FLAIR magnetic resonance.
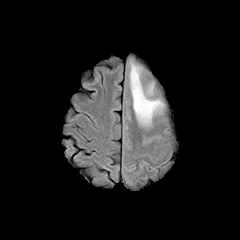
T1-weighted MR.
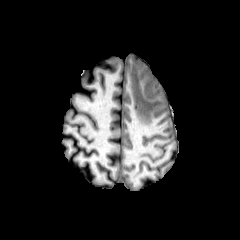
Post-contrast T1-weighted MRI.
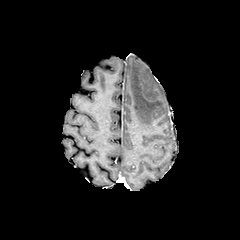
T2-weighted magnetic resonance.
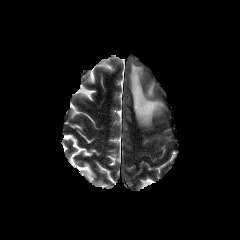
Head, 240x240 px, Axial plane
The peritumoral edema is located at l=129, t=62, r=163, b=126.